Head; Slice 59 of 155
FLAIR magnetic resonance.
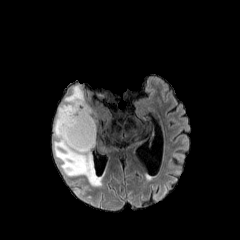
T1-weighted MR.
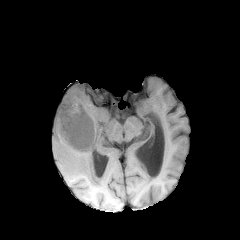
Post-contrast T1-weighted MR image.
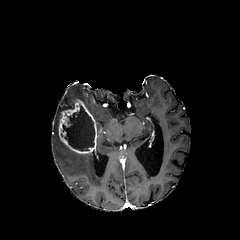
T2-weighted magnetic resonance.
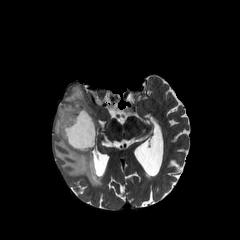
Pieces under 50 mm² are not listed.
necrotic tumor core: (62, 105, 94, 150) | enhancing tumor: (58, 99, 97, 154) | peritumoral edema: (53, 85, 103, 186)